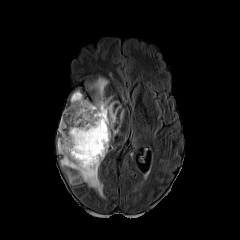
FLAIR MR.
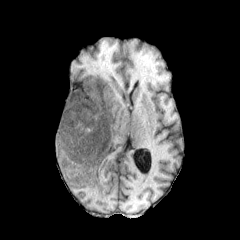
T1-weighted magnetic resonance.
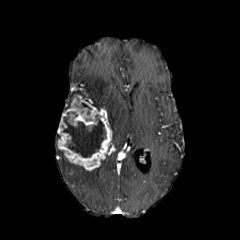
Post-contrast T1-weighted MR.
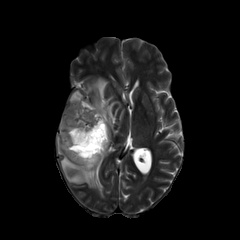
Same slice, T2-weighted MR image.
240x240; Axial view; Head
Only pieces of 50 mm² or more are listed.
Segmented structures:
* enhancing tumor: region(57, 94, 112, 170)
* necrotic tumor core: region(63, 117, 105, 157)
* peritumoral edema: region(70, 90, 83, 101); region(57, 146, 104, 197); region(88, 77, 120, 135)